Slice 108/155; Head; Image width 240 mm
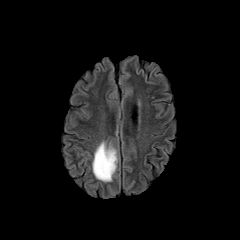
FLAIR MRI.
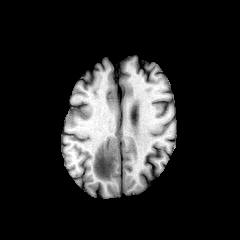
T1-weighted magnetic resonance of the same slice.
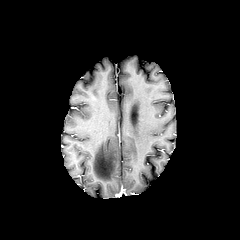
Same slice, post-contrast T1-weighted MRI.
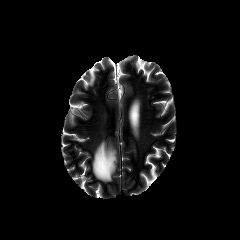
T2-weighted MR.
The peritumoral edema lies within <box>92,141,117,182</box>.